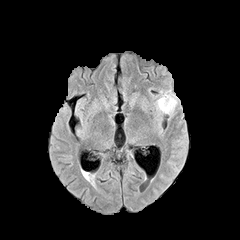
FLAIR MR.
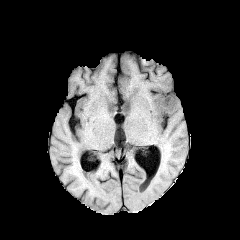
T1-weighted MR image of the same slice.
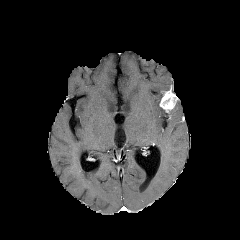
Post-contrast T1-weighted magnetic resonance of the same slice.
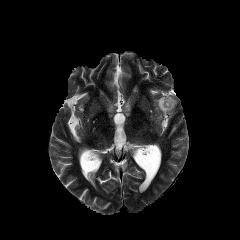
T2-weighted MR image.
Axial view | Brain
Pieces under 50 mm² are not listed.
{
  "peritumoral_edema": [
    "x1=157, y1=97, x2=174, y2=114"
  ],
  "enhancing_tumor": [
    "x1=159, y1=88, x2=178, y2=112"
  ]
}